Axial slice
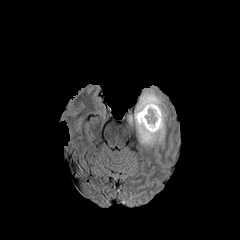
FLAIR MR image.
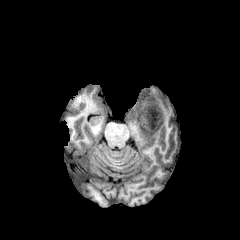
T1-weighted MR image of the same slice.
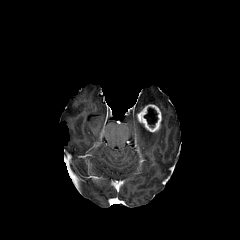
Post-contrast T1-weighted MR image.
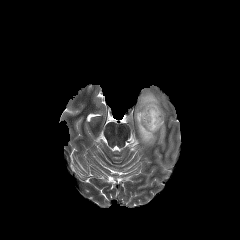
Same slice, T2-weighted magnetic resonance.
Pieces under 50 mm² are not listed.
enhancing tumor = <bbox>137, 104, 161, 132</bbox>
necrotic tumor core = <bbox>144, 108, 157, 128</bbox>
peritumoral edema = <bbox>134, 90, 166, 145</bbox>